240x240 px
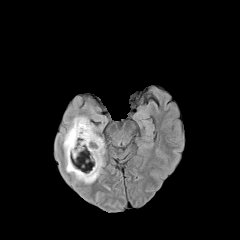
FLAIR magnetic resonance.
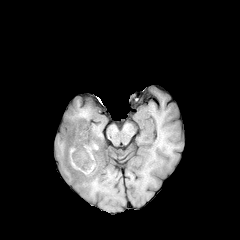
T1-weighted MR image of the same slice.
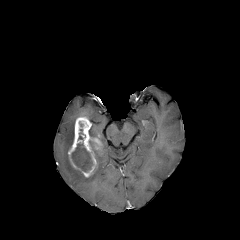
Post-contrast T1-weighted MRI.
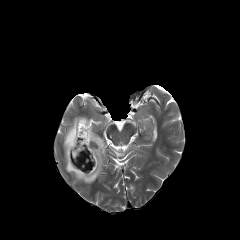
Same slice, T2-weighted MR.
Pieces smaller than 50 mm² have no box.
The largest necrotic tumor core region appears at bbox=[71, 143, 92, 171]. The largest peritumoral edema region appears at bbox=[63, 116, 105, 183]. The enhancing tumor lies within bbox=[68, 117, 103, 177].